Slice index 91; Image size 240x240; Brain; Axial slice
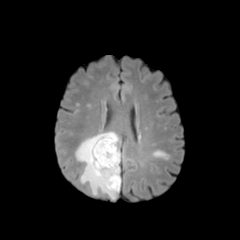
FLAIR MR image.
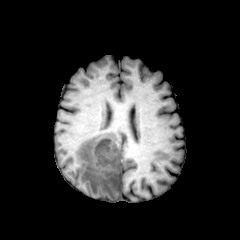
T1-weighted magnetic resonance.
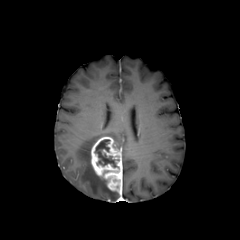
Post-contrast T1-weighted MR.
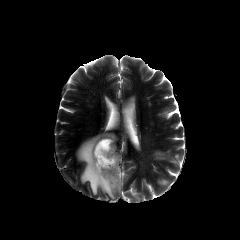
T2-weighted MR image.
The peritumoral edema appears at (left=75, top=132, right=118, bottom=199). The enhancing tumor is located at (left=91, top=136, right=122, bottom=192). The necrotic tumor core appears at (left=95, top=139, right=116, bottom=167).